FLAIR MR image.
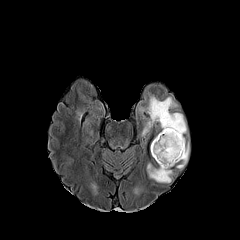
T1-weighted magnetic resonance.
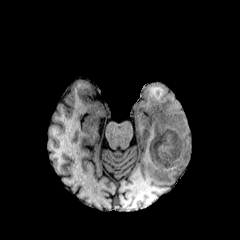
Post-contrast T1-weighted magnetic resonance.
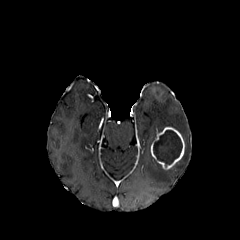
T2-weighted MRI.
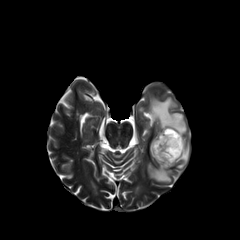
Brain
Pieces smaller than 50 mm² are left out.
necrotic tumor core: bounding box (left=153, top=130, right=182, bottom=166)
enhancing tumor: bounding box (left=150, top=127, right=185, bottom=169)
peritumoral edema: bounding box (left=147, top=163, right=173, bottom=182), (left=142, top=96, right=187, bottom=135), (left=176, top=136, right=189, bottom=169)